Axial slice
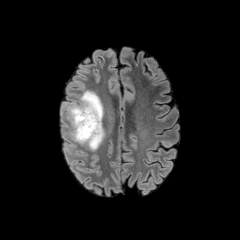
FLAIR MR.
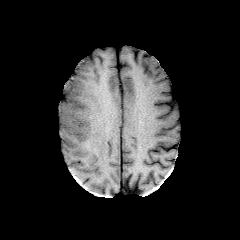
T1-weighted MR image of the same slice.
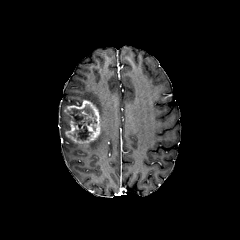
Post-contrast T1-weighted MR image.
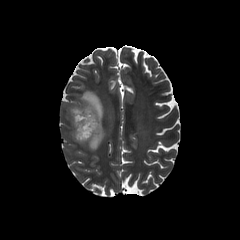
Same slice, T2-weighted magnetic resonance.
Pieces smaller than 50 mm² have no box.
peritumoral edema: bounding box (63, 131, 75, 151), (62, 90, 104, 150)
enhancing tumor: bounding box (64, 99, 101, 145)
necrotic tumor core: bounding box (70, 105, 93, 140)